Head, Slice index 87
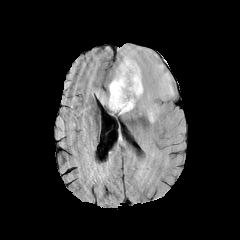
FLAIR MR.
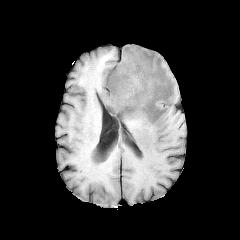
Same slice, T1-weighted magnetic resonance.
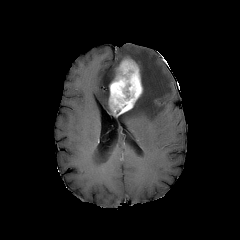
Post-contrast T1-weighted magnetic resonance.
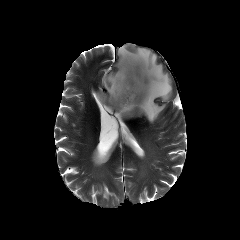
T2-weighted MRI.
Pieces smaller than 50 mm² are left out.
The enhancing tumor is bounded by [x1=109, y1=58, x2=142, y2=115]. The 2 largest peritumoral edema regions are bounded by [x1=96, y1=70, x2=115, y2=107], [x1=117, y1=45, x2=174, y2=123].